Head; 240x240
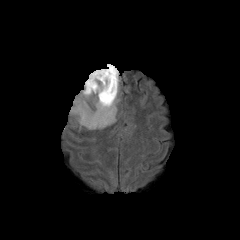
FLAIR MR image.
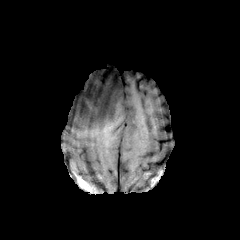
T1-weighted magnetic resonance.
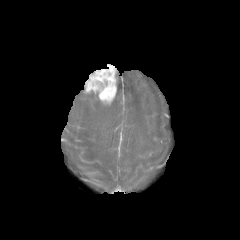
Post-contrast T1-weighted magnetic resonance of the same slice.
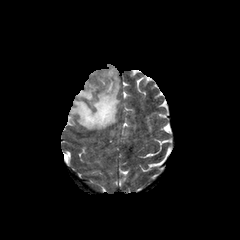
T2-weighted MR image.
enhancing tumor — box(85, 64, 117, 104)
peritumoral edema — box(69, 70, 119, 129)